FLAIR MR image.
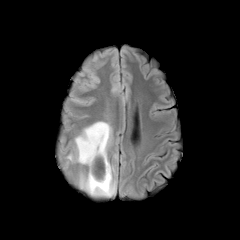
T1-weighted MR image.
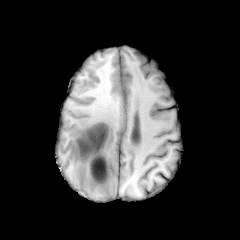
Post-contrast T1-weighted MR image.
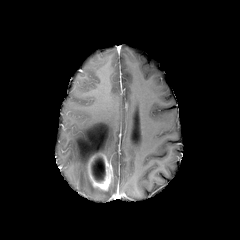
T2-weighted MR image.
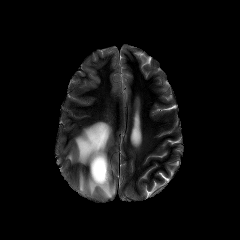
Image size 240x240. Head. Axial view.
enhancing tumor — left=88, top=153, right=112, bottom=190
peritumoral edema — left=67, top=121, right=111, bottom=165; left=79, top=163, right=115, bottom=197
necrotic tumor core — left=92, top=156, right=105, bottom=181